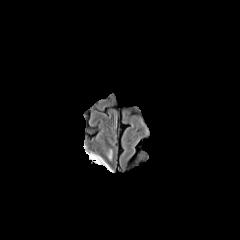
FLAIR MR.
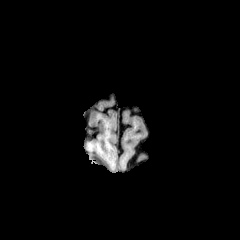
T1-weighted MRI.
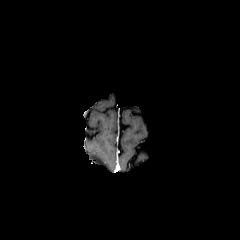
Post-contrast T1-weighted magnetic resonance of the same slice.
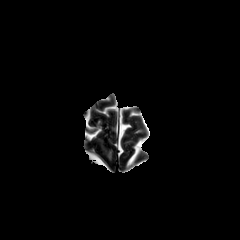
Same slice, T2-weighted MRI.
Brain, Image size 240x240
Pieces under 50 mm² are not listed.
• peritumoral edema: 86:152:111:170